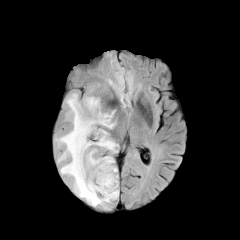
FLAIR magnetic resonance.
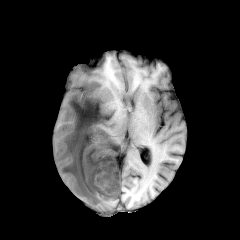
T1-weighted MR image of the same slice.
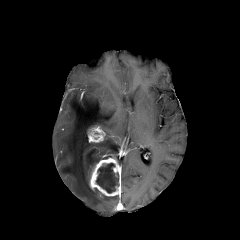
Post-contrast T1-weighted MRI.
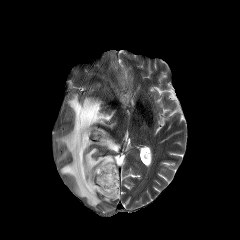
T2-weighted MR of the same slice.
Image size 240x240 | Brain
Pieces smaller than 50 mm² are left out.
{"enhancing_tumor": ["(left=87, top=126, right=105, bottom=142)", "(left=89, top=156, right=120, bottom=196)"], "peritumoral_edema": ["(left=55, top=93, right=118, bottom=208)"], "necrotic_tumor_core": ["(left=96, top=163, right=119, bottom=193)"]}